FLAIR MRI.
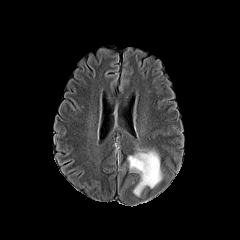
T1-weighted MR.
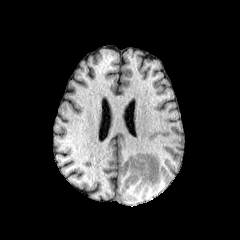
Post-contrast T1-weighted MR.
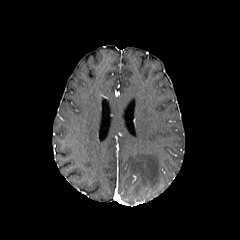
T2-weighted MR image.
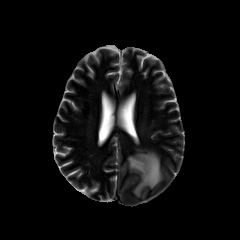
Axial view
The peritumoral edema is bounded by rect(128, 150, 162, 196).